Image width 240 mm. 240x240.
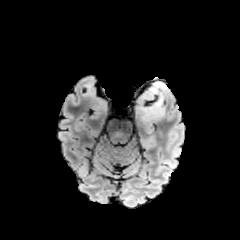
FLAIR MR image.
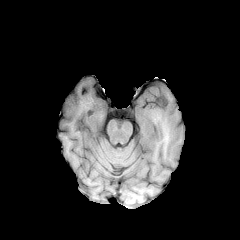
T1-weighted MRI.
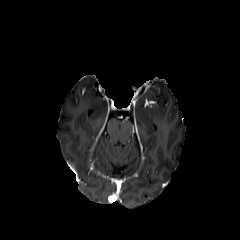
Post-contrast T1-weighted MR.
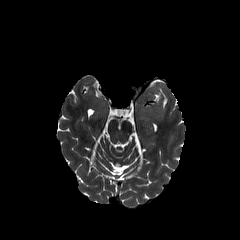
T2-weighted magnetic resonance.
Segmented structures:
* peritumoral edema: <box>136,82,165,121</box>